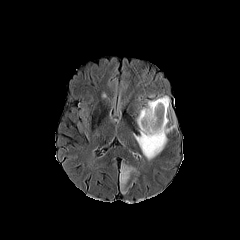
FLAIR MR.
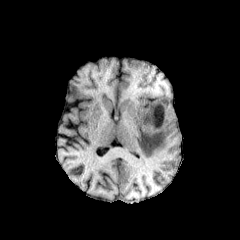
T1-weighted magnetic resonance.
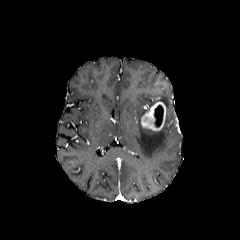
Same slice, post-contrast T1-weighted MR image.
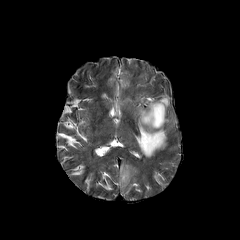
T2-weighted MR.
Image size 240x240
enhancing tumor: bbox(140, 101, 166, 131) | necrotic tumor core: bbox(154, 105, 163, 127) | peritumoral edema: bbox(147, 95, 170, 111); bbox(134, 107, 175, 160); bbox(120, 164, 134, 188)